Slice 114/155, Head
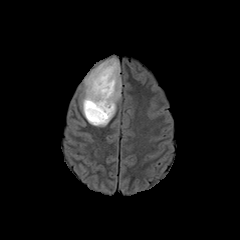
FLAIR MRI.
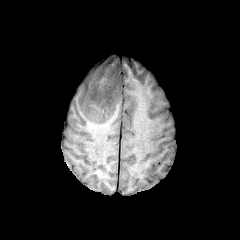
Same slice, T1-weighted MR image.
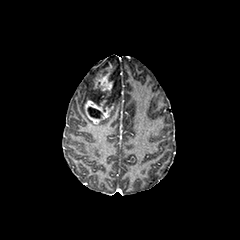
Post-contrast T1-weighted MRI.
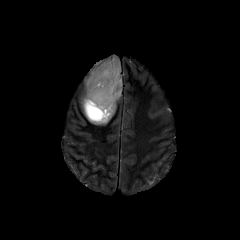
T2-weighted MR image.
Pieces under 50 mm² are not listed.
The necrotic tumor core appears at (left=87, top=107, right=102, bottom=118). The largest peritumoral edema region is at (left=81, top=57, right=121, bottom=126). The enhancing tumor is located at (left=84, top=62, right=117, bottom=123).